Slice 100 of 155 | 240x240
FLAIR MRI.
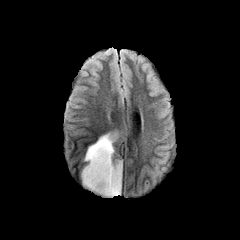
T1-weighted MR.
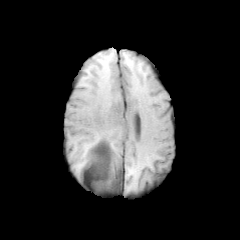
Post-contrast T1-weighted MRI.
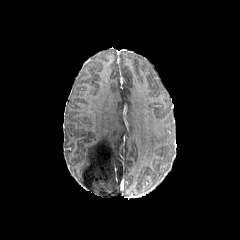
T2-weighted MR.
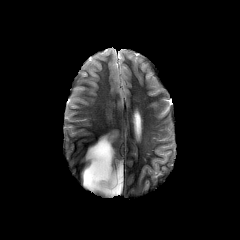
peritumoral_edema:
  - l=81, t=133, r=122, b=196